Head, Image covers 240 mm x 240 mm, Slice index 117
FLAIR MR image.
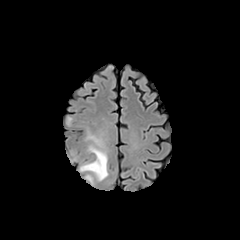
T1-weighted magnetic resonance.
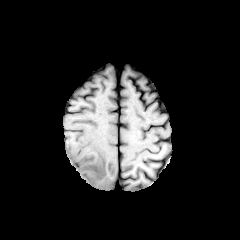
Post-contrast T1-weighted MR image.
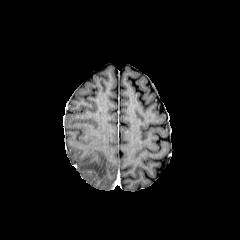
T2-weighted magnetic resonance.
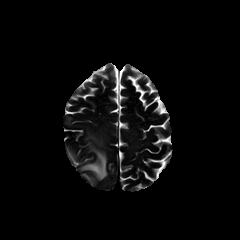
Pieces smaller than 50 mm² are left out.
The 3 largest peritumoral edema regions are bounded by [x1=87, y1=134, x2=102, y2=146], [x1=79, y1=145, x2=107, y2=180], [x1=86, y1=175, x2=94, y2=185].